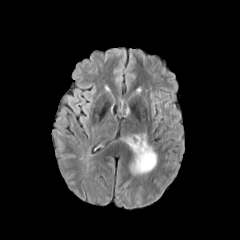
FLAIR MRI.
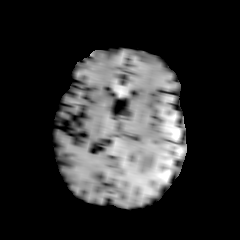
Same slice, T1-weighted MR image.
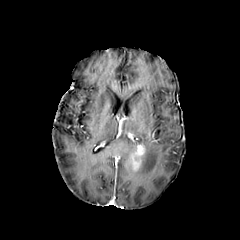
Post-contrast T1-weighted MR.
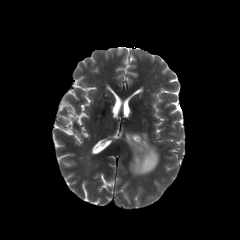
T2-weighted magnetic resonance.
240x240; Axial plane; Brain
enhancing tumor at {"x1": 131, "y1": 144, "x2": 145, "y2": 171}
peritumoral edema at {"x1": 123, "y1": 134, "x2": 157, "y2": 174}